FLAIR magnetic resonance.
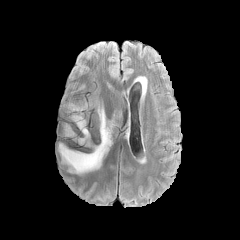
T1-weighted MRI.
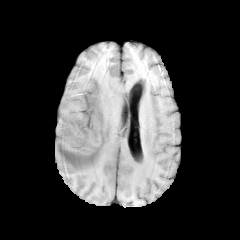
Post-contrast T1-weighted MR image.
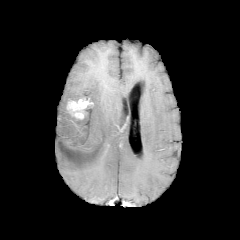
T2-weighted MRI.
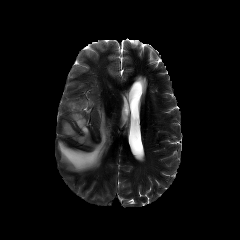
Head | Axial view
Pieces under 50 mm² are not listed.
enhancing tumor: 67 99 93 118 | peritumoral edema: 71 115 91 145, 64 123 75 136, 58 105 113 173